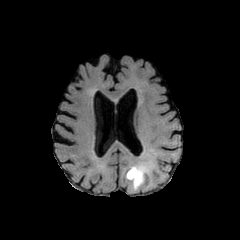
FLAIR magnetic resonance.
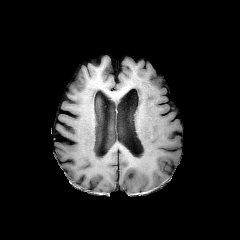
T1-weighted MR image.
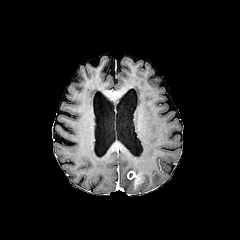
Post-contrast T1-weighted MR.
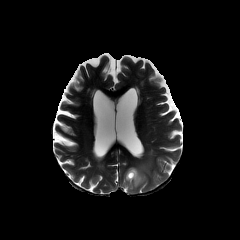
T2-weighted MRI.
Brain. 240x240 px. Axial view.
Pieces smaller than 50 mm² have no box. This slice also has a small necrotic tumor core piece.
The peritumoral edema is located at {"x1": 126, "y1": 160, "x2": 151, "y2": 191}. The enhancing tumor is located at {"x1": 127, "y1": 171, "x2": 142, "y2": 186}.